Axial view
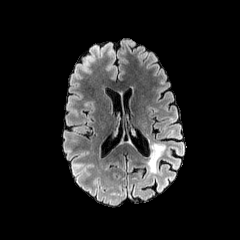
FLAIR MR.
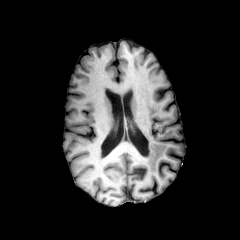
Same slice, T1-weighted MRI.
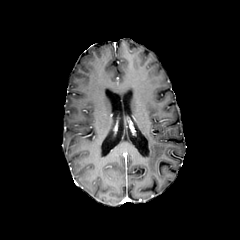
Post-contrast T1-weighted magnetic resonance.
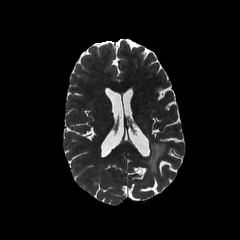
T2-weighted MRI.
peritumoral edema: (left=148, top=143, right=165, bottom=171)